FLAIR MR image.
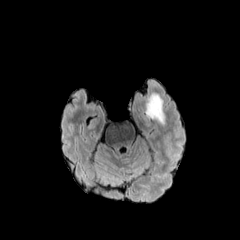
T1-weighted MR.
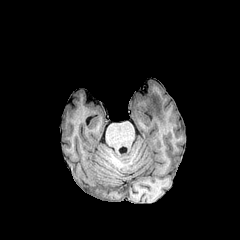
Post-contrast T1-weighted MR image.
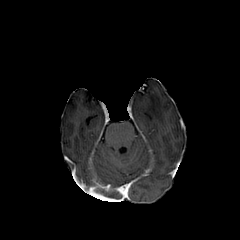
T2-weighted magnetic resonance.
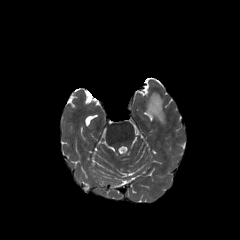
peritumoral edema = (146, 94, 164, 124)